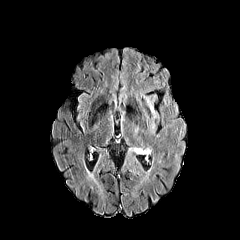
FLAIR MR image.
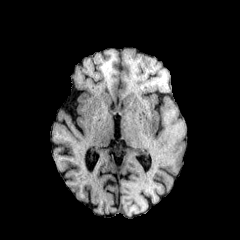
Same slice, T1-weighted MRI.
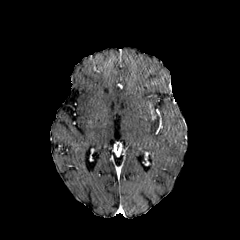
Same slice, post-contrast T1-weighted magnetic resonance.
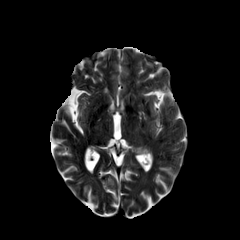
Same slice, T2-weighted MR.
Axial view
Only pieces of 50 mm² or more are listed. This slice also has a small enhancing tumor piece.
2 peritumoral edema regions are bounded by {"x1": 137, "y1": 94, "x2": 155, "y2": 122}, {"x1": 134, "y1": 148, "x2": 149, "y2": 153}.